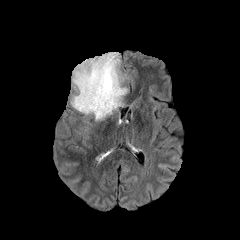
FLAIR magnetic resonance.
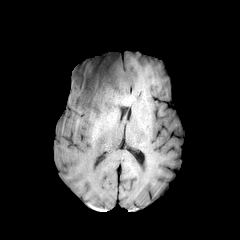
T1-weighted MRI.
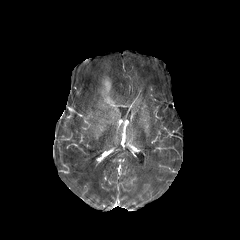
Post-contrast T1-weighted MR image of the same slice.
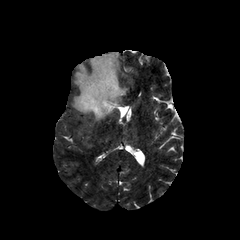
T2-weighted MR image.
Head
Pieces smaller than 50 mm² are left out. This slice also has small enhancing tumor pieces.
• peritumoral edema: [71, 52, 127, 121]